Brain
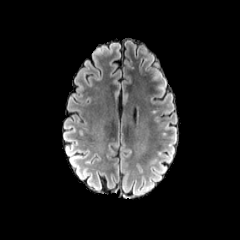
FLAIR MR image.
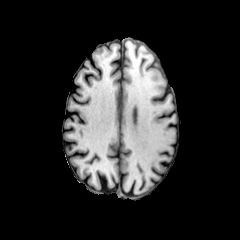
T1-weighted MR image of the same slice.
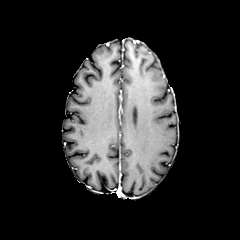
Post-contrast T1-weighted magnetic resonance of the same slice.
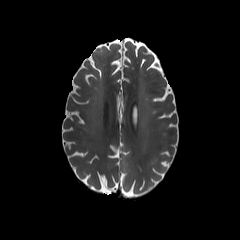
T2-weighted magnetic resonance of the same slice.
peritumoral edema: bounding box 149:158:158:166